FLAIR MRI.
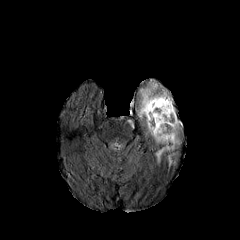
T1-weighted MR image.
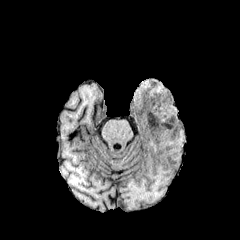
Post-contrast T1-weighted magnetic resonance.
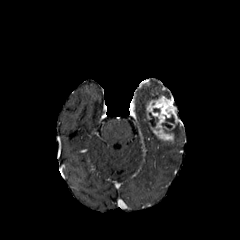
T2-weighted MR.
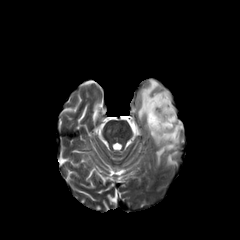
Axial view
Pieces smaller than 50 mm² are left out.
<segmentation>
  <enhancing_tumor>l=146, t=95, r=181, b=141</enhancing_tumor>
  <necrotic_tumor_core>l=161, t=114, r=179, b=133; l=148, t=112, r=158, b=127</necrotic_tumor_core>
  <peritumoral_edema>l=137, t=80, r=171, b=119; l=146, t=119, r=180, b=166; l=167, t=153, r=175, b=166</peritumoral_edema>
</segmentation>